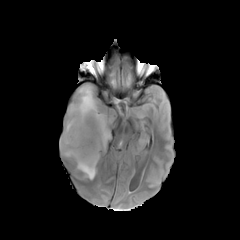
FLAIR MR.
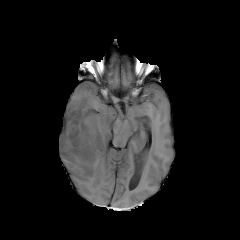
Same slice, T1-weighted MR.
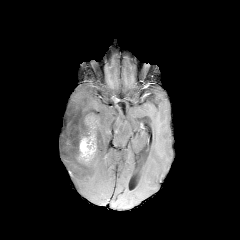
Post-contrast T1-weighted MR image.
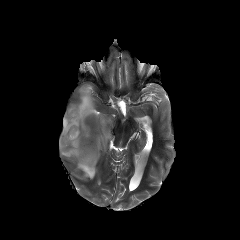
T2-weighted MRI.
Image size 240x240
peritumoral_edema:
  - <bbox>59, 84, 110, 179</bbox>
enhancing_tumor:
  - <bbox>78, 116, 97, 163</bbox>